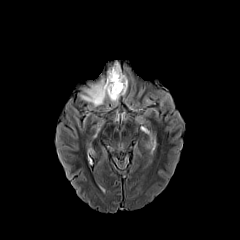
FLAIR MRI.
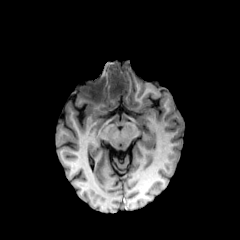
T1-weighted MRI.
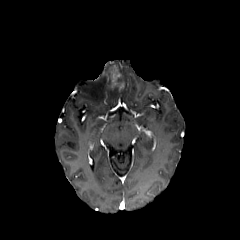
Same slice, post-contrast T1-weighted magnetic resonance.
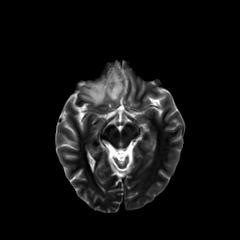
T2-weighted MR of the same slice.
Head; Image size 240x240
The enhancing tumor is at (left=108, top=65, right=124, bottom=90). The peritumoral edema is located at (left=80, top=61, right=128, bottom=107).